FLAIR MR image.
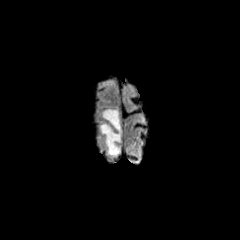
T1-weighted MRI.
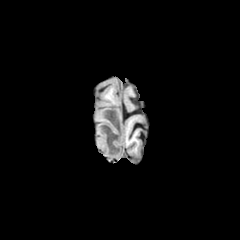
Post-contrast T1-weighted MR image.
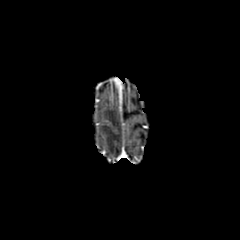
T2-weighted MR.
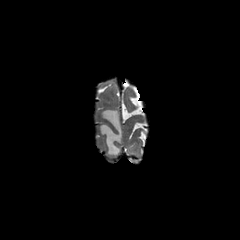
Brain
The peritumoral edema lies within (99, 108, 121, 156).